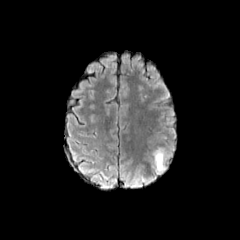
FLAIR MRI.
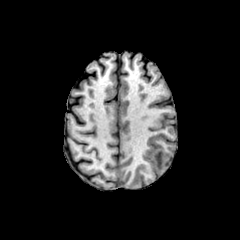
T1-weighted MR image of the same slice.
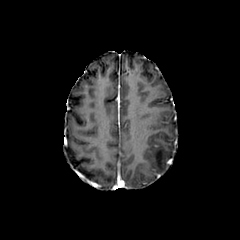
Post-contrast T1-weighted magnetic resonance of the same slice.
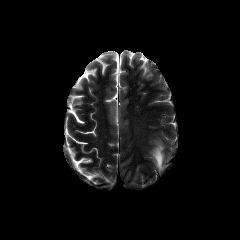
T2-weighted MRI.
Brain, Axial plane, 240x240 px
Annotated regions:
* peritumoral edema: <bbox>154, 150, 164, 171</bbox>